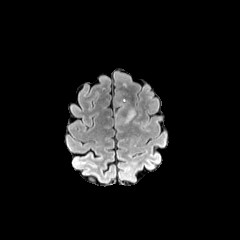
FLAIR MR image.
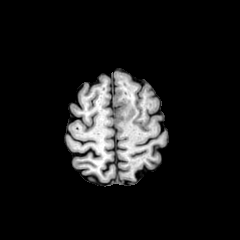
T1-weighted MRI of the same slice.
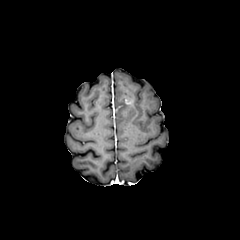
Post-contrast T1-weighted MR image.
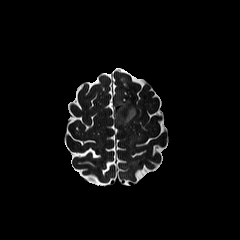
T2-weighted magnetic resonance of the same slice.
240x240, Brain
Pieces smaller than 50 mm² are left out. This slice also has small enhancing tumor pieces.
peritumoral_edema:
  - bbox=[115, 98, 135, 124]